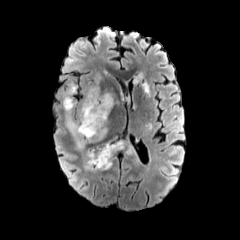
FLAIR MR image.
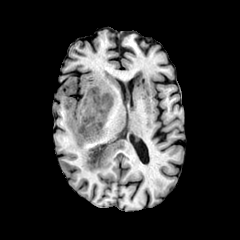
T1-weighted MR.
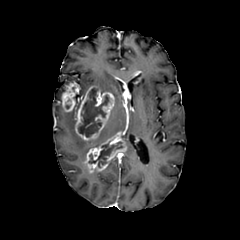
Post-contrast T1-weighted MR image of the same slice.
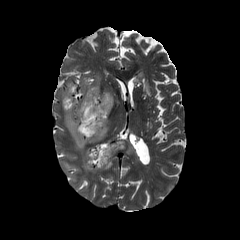
T2-weighted MRI.
Axial plane
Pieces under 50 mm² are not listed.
enhancing tumor at region(75, 86, 114, 141); region(61, 81, 79, 111); region(84, 132, 125, 172)
peritumoral edema at region(66, 112, 86, 149); region(119, 139, 134, 154); region(138, 74, 149, 92); region(89, 126, 107, 142)
necrotic tumor core at region(89, 142, 122, 167); region(78, 88, 108, 137)